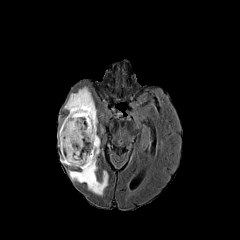
FLAIR magnetic resonance.
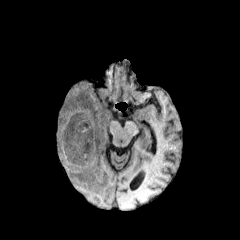
T1-weighted MR.
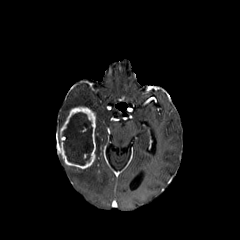
Post-contrast T1-weighted MR of the same slice.
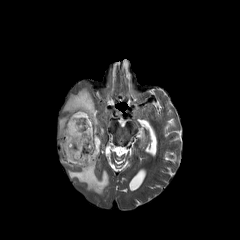
T2-weighted MR image of the same slice.
Brain
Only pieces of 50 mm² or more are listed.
The largest enhancing tumor region is bounded by <box>60,106,95,169</box>. The largest peritumoral edema region is bounded by <box>63,87,108,194</box>. The necrotic tumor core is located at <box>62,112,93,165</box>.